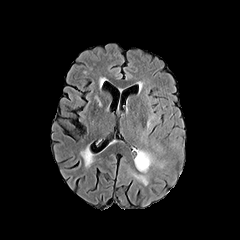
FLAIR MR.
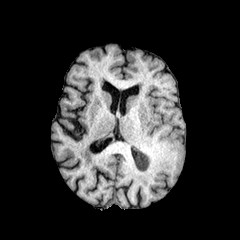
T1-weighted MR image.
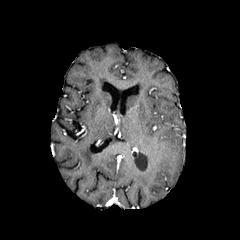
Post-contrast T1-weighted magnetic resonance.
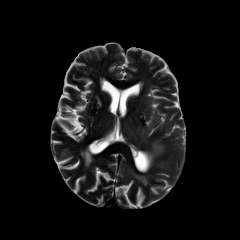
Same slice, T2-weighted MRI.
Image size 240x240.
The peritumoral edema appears at 134 150 154 172. The necrotic tumor core is located at 136 153 148 169.